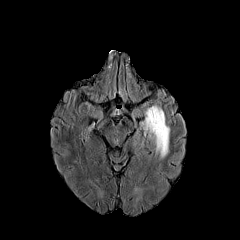
FLAIR MR.
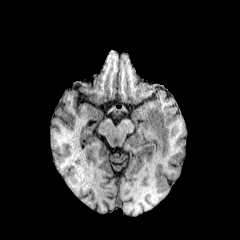
T1-weighted magnetic resonance of the same slice.
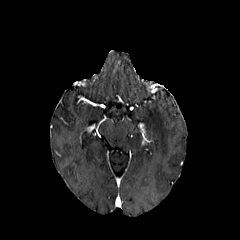
Same slice, post-contrast T1-weighted MRI.
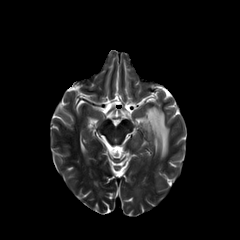
T2-weighted MRI of the same slice.
Axial view | 240x240 px
The peritumoral edema lies within <box>142,106,169,158</box>.